FLAIR MR image.
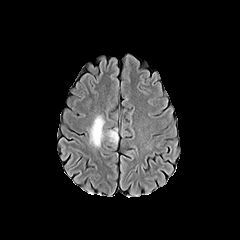
T1-weighted MR image.
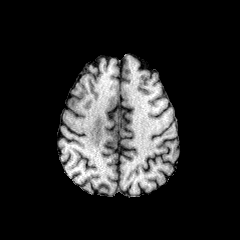
Post-contrast T1-weighted magnetic resonance.
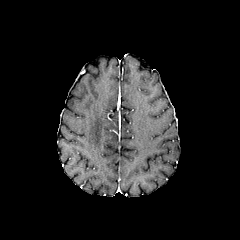
T2-weighted magnetic resonance.
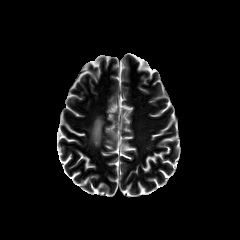
Axial plane; 240x240
2 peritumoral edema regions are bounded by 107 131 117 142, 89 115 105 147.